Axial slice. Slice index 116.
FLAIR MR image.
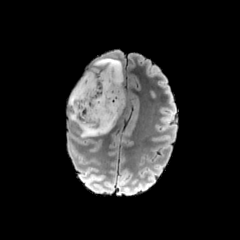
T1-weighted MR.
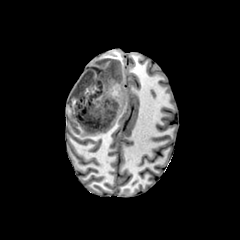
Post-contrast T1-weighted MR.
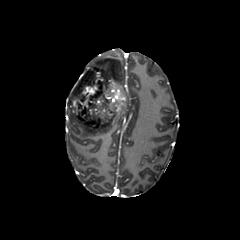
T2-weighted magnetic resonance.
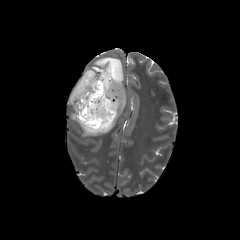
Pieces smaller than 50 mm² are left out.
enhancing tumor — <box>72,68,125,127</box>
peritumoral edema — <box>69,58,123,137</box>
necrotic tumor core — <box>80,72,95,93</box>, <box>90,80,107,100</box>, <box>78,107,100,123</box>